FLAIR magnetic resonance.
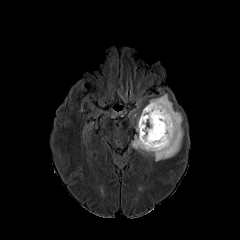
T1-weighted MRI.
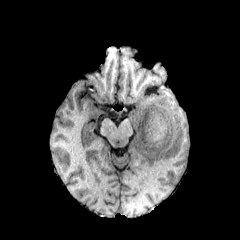
Post-contrast T1-weighted MRI.
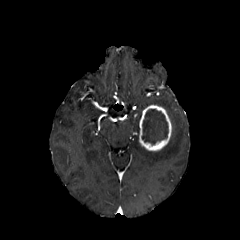
T2-weighted MRI.
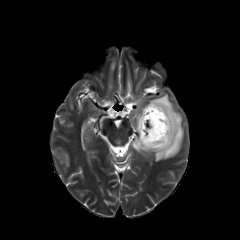
240x240, Head
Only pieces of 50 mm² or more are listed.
The necrotic tumor core is at region(142, 109, 168, 144). The largest enhancing tumor region is located at region(139, 104, 172, 151). The peritumoral edema is located at region(129, 85, 183, 161).